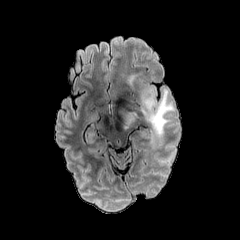
FLAIR MR image.
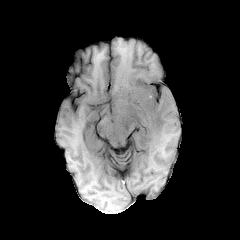
T1-weighted MR.
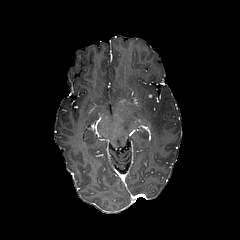
Same slice, post-contrast T1-weighted MR image.
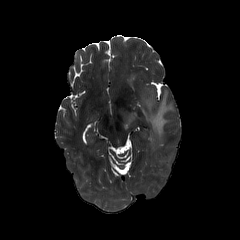
T2-weighted MRI of the same slice.
Brain. Axial view.
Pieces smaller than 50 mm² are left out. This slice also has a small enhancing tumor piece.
The 2 largest peritumoral edema regions appear at box=[142, 89, 174, 138]; box=[121, 108, 137, 127].